FLAIR MR.
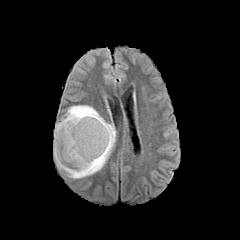
T1-weighted MR image.
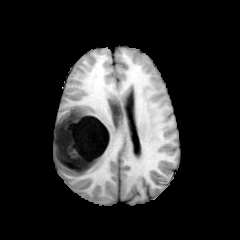
Post-contrast T1-weighted magnetic resonance.
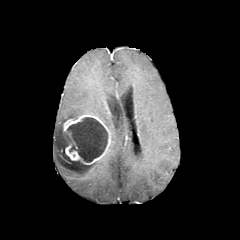
T2-weighted MR.
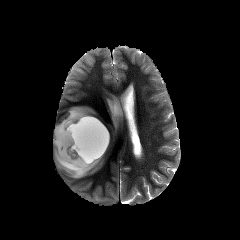
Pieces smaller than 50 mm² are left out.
peritumoral edema: [x1=53, y1=105, x2=115, y2=179] | enhancing tumor: [x1=61, y1=114, x2=110, y2=164] | necrotic tumor core: [x1=67, y1=117, x2=108, y2=162]